240x240; Axial slice; Brain; Slice index 72
FLAIR MR.
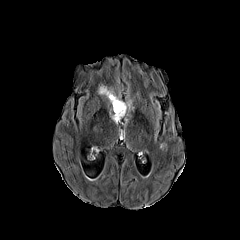
T1-weighted magnetic resonance.
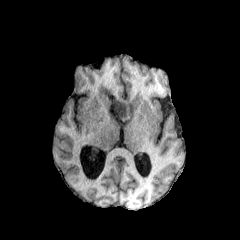
Post-contrast T1-weighted MR image.
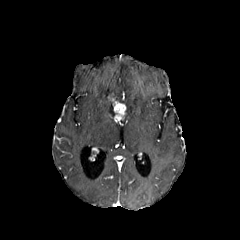
T2-weighted MR.
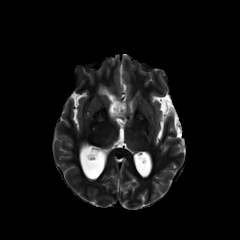
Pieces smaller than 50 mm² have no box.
enhancing_tumor:
  - [x1=108, y1=96, x2=126, y2=121]
peritumoral_edema:
  - [x1=98, y1=85, x2=130, y2=107]